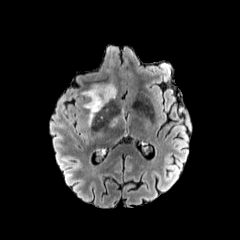
FLAIR magnetic resonance.
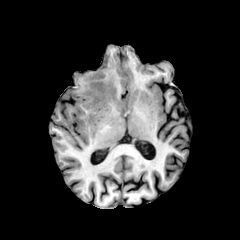
Same slice, T1-weighted MRI.
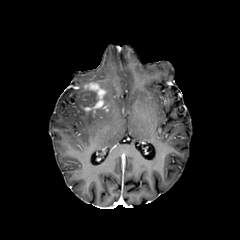
Post-contrast T1-weighted MR image.
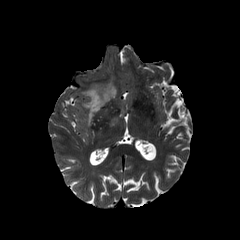
T2-weighted MRI.
Segmented structures:
• enhancing tumor: box=[85, 83, 106, 111]
• peritumoral edema: box=[101, 83, 116, 104]; box=[81, 89, 97, 107]; box=[88, 109, 99, 125]; box=[108, 117, 118, 127]